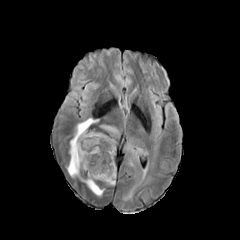
FLAIR MR image.
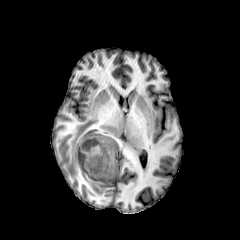
T1-weighted MR of the same slice.
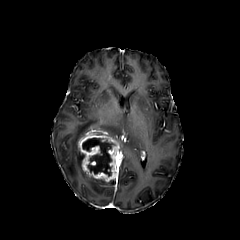
Post-contrast T1-weighted MR image.
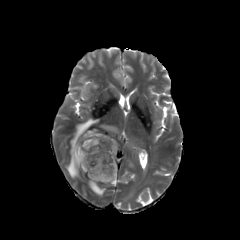
T2-weighted MR.
Brain, 240x240 px
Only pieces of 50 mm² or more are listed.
The largest necrotic tumor core region lies within bbox=[82, 138, 113, 175]. The largest enhancing tumor region lies within bbox=[78, 134, 119, 182]. The 3 largest peritumoral edema regions are bounded by bbox=[67, 118, 98, 177]; bbox=[101, 125, 118, 134]; bbox=[81, 178, 104, 196].